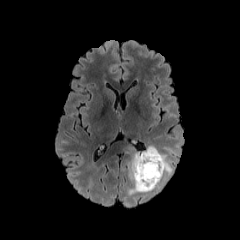
FLAIR MR.
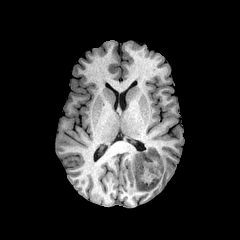
T1-weighted MR image.
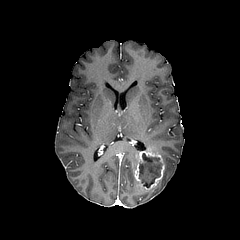
Post-contrast T1-weighted MR of the same slice.
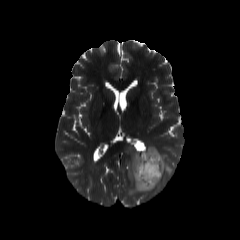
T2-weighted MR.
The enhancing tumor lies within 134, 149, 165, 190. The peritumoral edema is located at 125, 144, 180, 196. The necrotic tumor core appears at 139, 153, 161, 186.